Axial view
FLAIR MR.
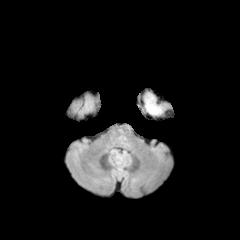
T1-weighted MR image.
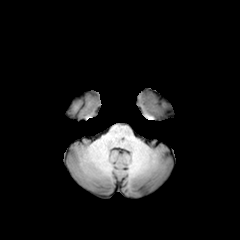
Post-contrast T1-weighted magnetic resonance.
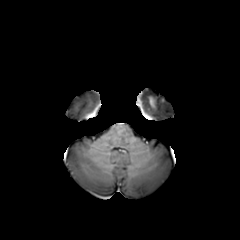
T2-weighted MR image.
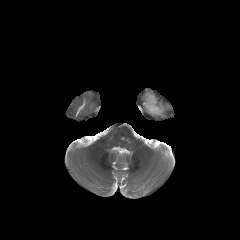
peritumoral_edema:
  - [x1=145, y1=94, x2=162, y2=114]
enhancing_tumor:
  - [x1=149, y1=96, x2=155, y2=107]